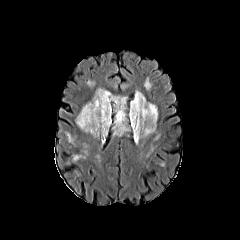
FLAIR MRI.
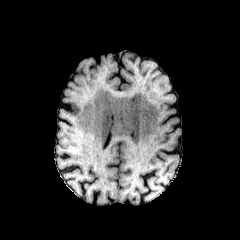
T1-weighted MRI.
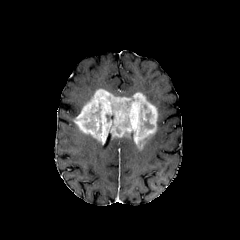
Post-contrast T1-weighted MR.
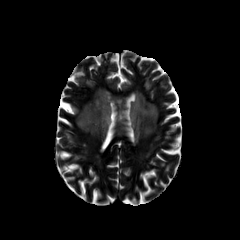
Same slice, T2-weighted magnetic resonance.
Image size 240x240, Axial slice
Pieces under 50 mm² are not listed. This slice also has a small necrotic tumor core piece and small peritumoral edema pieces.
enhancing tumor: bounding box 74,89,157,146